Slice index 78.
FLAIR MR image.
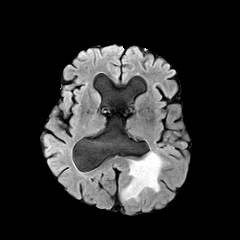
T1-weighted magnetic resonance.
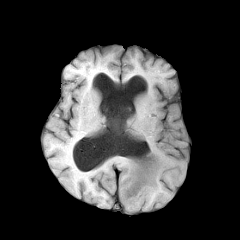
Post-contrast T1-weighted MR image.
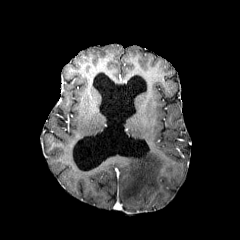
T2-weighted MRI.
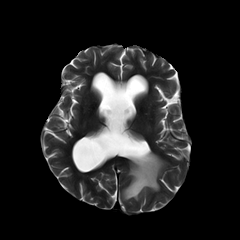
peritumoral edema: x1=121 y1=151 x2=170 y2=201